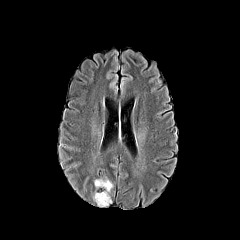
FLAIR MR image.
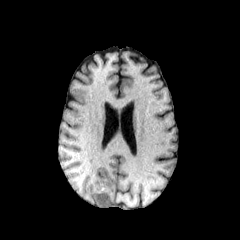
T1-weighted MR image of the same slice.
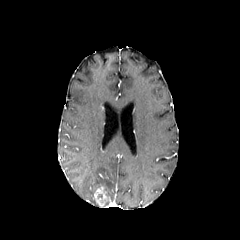
Post-contrast T1-weighted magnetic resonance.
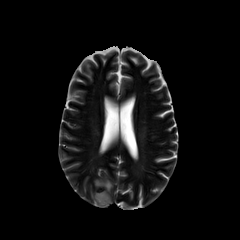
T2-weighted MR image.
Head. 240x240.
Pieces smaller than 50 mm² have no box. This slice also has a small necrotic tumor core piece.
Annotated regions:
- peritumoral edema: [94, 179, 112, 198]
- enhancing tumor: [94, 186, 110, 206]